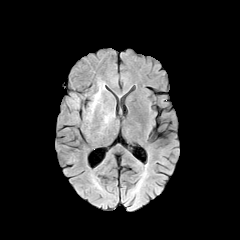
FLAIR magnetic resonance.
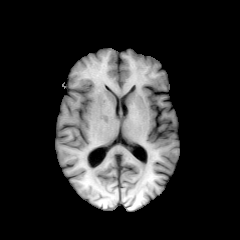
T1-weighted magnetic resonance.
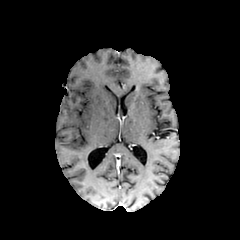
Same slice, post-contrast T1-weighted MR.
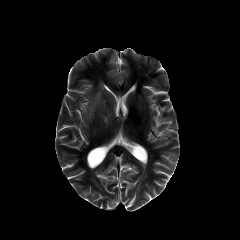
T2-weighted magnetic resonance.
240x240 px | Head
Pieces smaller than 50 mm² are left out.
The largest peritumoral edema region is at x1=90, y1=83, x2=104, y2=112.